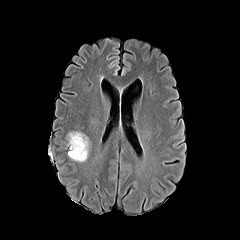
FLAIR MRI.
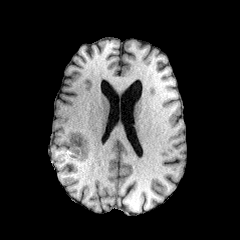
T1-weighted MRI.
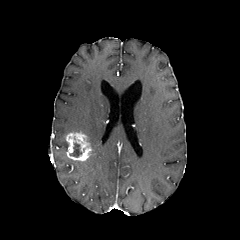
Post-contrast T1-weighted MR image.
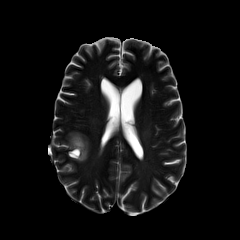
Same slice, T2-weighted magnetic resonance.
Axial plane. Head.
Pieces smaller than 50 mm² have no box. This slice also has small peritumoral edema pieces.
enhancing tumor: bounding box 66, 132, 91, 161
necrotic tumor core: bounding box 70, 143, 81, 157